FLAIR magnetic resonance.
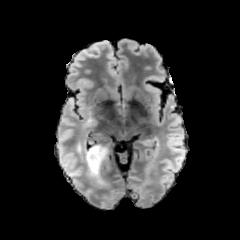
T1-weighted MR.
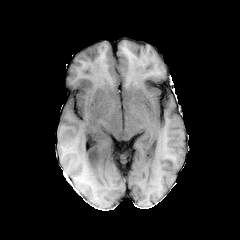
Post-contrast T1-weighted magnetic resonance.
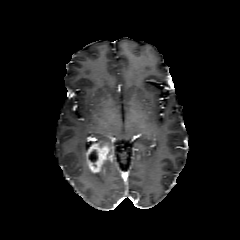
T2-weighted magnetic resonance.
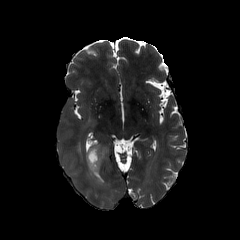
Brain.
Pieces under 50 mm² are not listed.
<segmentation>
  <enhancing_tumor>box=[86, 143, 111, 173]</enhancing_tumor>
  <necrotic_tumor_core>box=[88, 150, 97, 161]</necrotic_tumor_core>
  <peritumoral_edema>box=[77, 142, 87, 164]; box=[87, 165, 100, 184]</peritumoral_edema>
</segmentation>